FLAIR MR image.
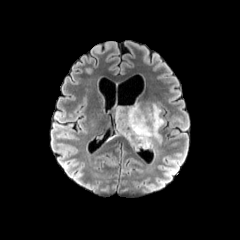
T1-weighted MR.
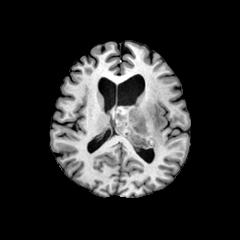
Post-contrast T1-weighted MR image.
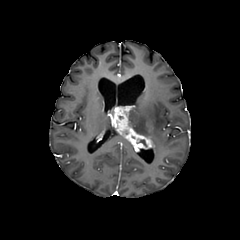
T2-weighted MR.
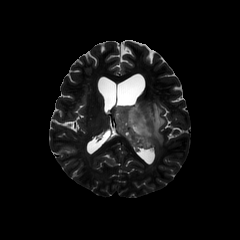
Axial slice
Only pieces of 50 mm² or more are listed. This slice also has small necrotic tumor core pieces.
The largest peritumoral edema region is bounded by <bbox>128, 103, 164, 143</bbox>. The enhancing tumor appears at <bbox>112, 105, 153, 150</bbox>.